FLAIR MR.
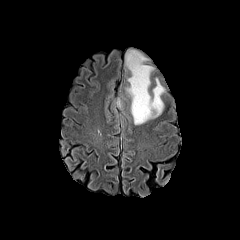
T1-weighted MR image.
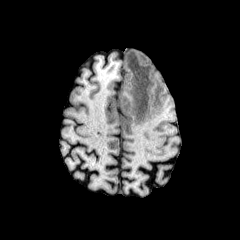
Post-contrast T1-weighted MR.
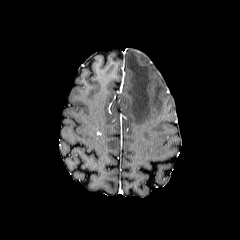
T2-weighted magnetic resonance.
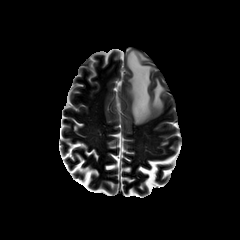
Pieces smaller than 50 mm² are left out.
Findings:
• peritumoral edema: [x1=126, y1=50, x2=164, y2=124]